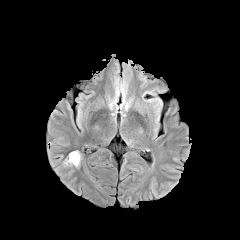
FLAIR MRI.
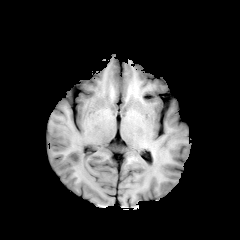
T1-weighted magnetic resonance.
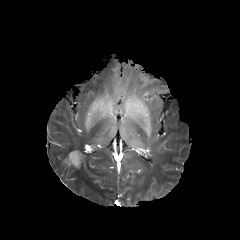
Post-contrast T1-weighted MR image.
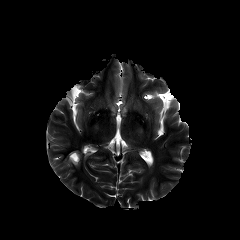
Same slice, T2-weighted magnetic resonance.
Brain
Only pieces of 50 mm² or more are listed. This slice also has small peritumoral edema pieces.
The enhancing tumor appears at x1=65, y1=151, x2=80, y2=166.